FLAIR magnetic resonance.
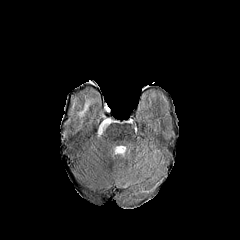
T1-weighted MR image.
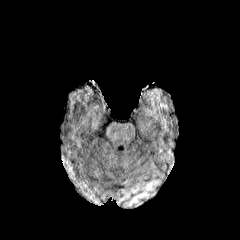
Post-contrast T1-weighted MR.
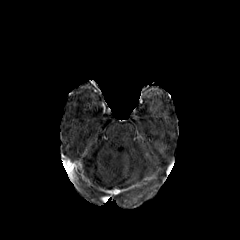
T2-weighted MR image.
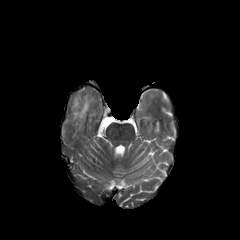
Head.
{
  "peritumoral_edema": [
    "bbox=[78, 102, 88, 116]"
  ]
}